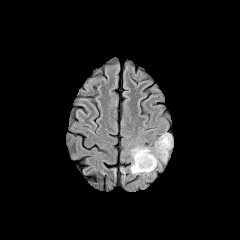
FLAIR MR image.
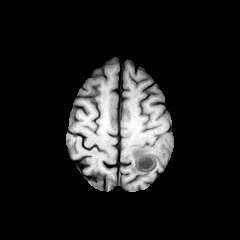
Same slice, T1-weighted MR.
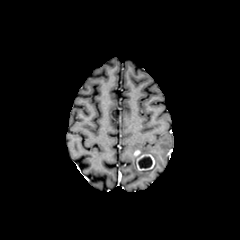
Post-contrast T1-weighted MR.
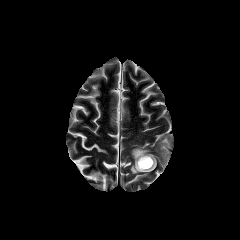
T2-weighted MR.
Brain
<segmentation>
  <necrotic_tumor_core>rect(138, 156, 152, 168)</necrotic_tumor_core>
  <peritumoral_edema>rect(130, 146, 157, 174); rect(156, 133, 172, 161)</peritumoral_edema>
  <enhancing_tumor>rect(133, 150, 154, 170)</enhancing_tumor>
</segmentation>